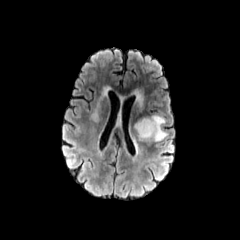
FLAIR MR.
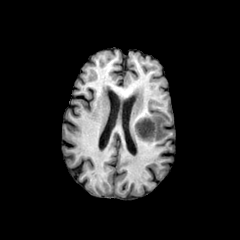
T1-weighted MR.
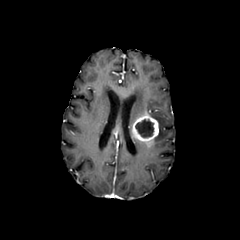
Post-contrast T1-weighted magnetic resonance.
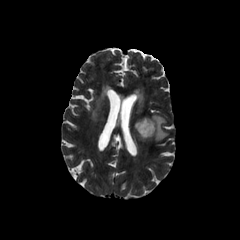
T2-weighted MR of the same slice.
240x240 px
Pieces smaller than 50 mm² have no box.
peritumoral edema: bounding box 150,114,167,141; 136,95,142,108
enhancing tumor: bounding box 131,111,158,146
necrotic tumor core: bounding box 135,119,153,137